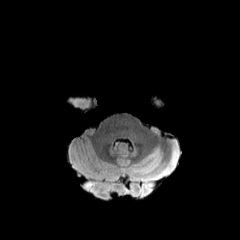
FLAIR MR.
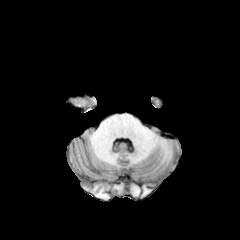
T1-weighted MR image of the same slice.
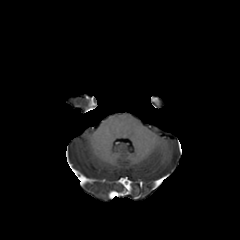
Post-contrast T1-weighted MRI of the same slice.
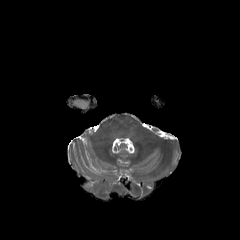
T2-weighted magnetic resonance.
Image size 240x240
{
  "peritumoral_edema": [
    "84, 182, 93, 189"
  ]
}